Brain
FLAIR MR.
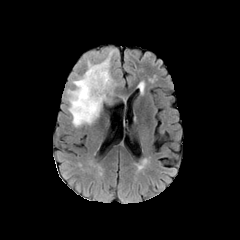
T1-weighted MR.
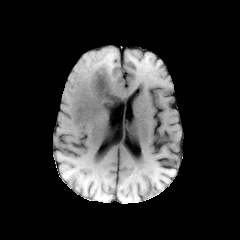
Post-contrast T1-weighted magnetic resonance.
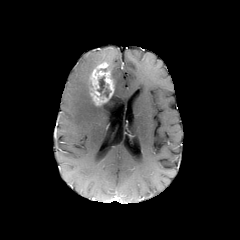
T2-weighted magnetic resonance.
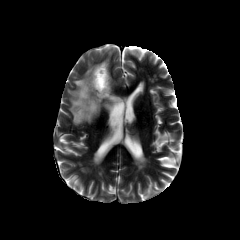
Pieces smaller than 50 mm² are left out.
The 2 largest peritumoral edema regions appear at bbox=[67, 61, 102, 126]; bbox=[103, 51, 111, 70]. The largest necrotic tumor core region is bounded by bbox=[98, 77, 104, 93]. The enhancing tumor is located at bbox=[90, 62, 113, 105].